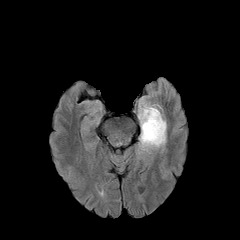
FLAIR MR.
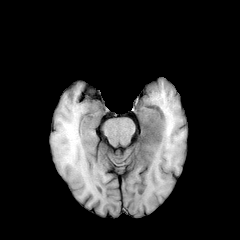
Same slice, T1-weighted magnetic resonance.
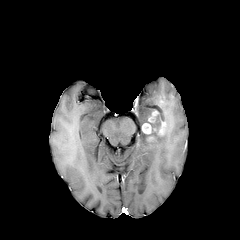
Post-contrast T1-weighted magnetic resonance.
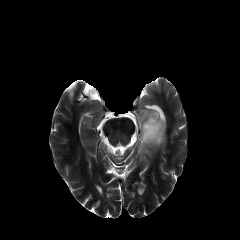
Same slice, T2-weighted MR image.
Brain. Axial slice.
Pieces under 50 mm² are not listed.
<segmentation>
  <enhancing_tumor>x1=142, y1=110, x2=165, y2=141</enhancing_tumor>
  <peritumoral_edema>x1=138, y1=123, x2=166, y2=154; x1=152, y1=110, x2=165, y2=127; x1=138, y1=103, x2=153, y2=130</peritumoral_edema>
</segmentation>